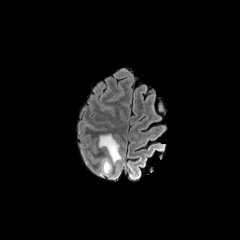
FLAIR magnetic resonance.
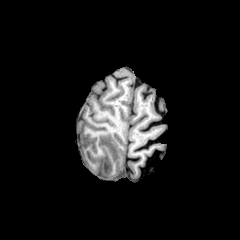
T1-weighted MR.
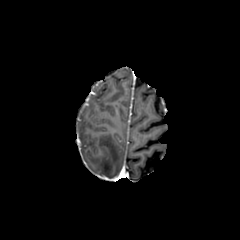
Post-contrast T1-weighted MRI.
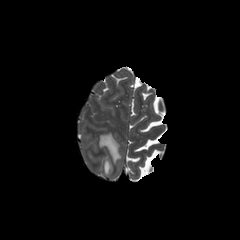
Same slice, T2-weighted MRI.
Axial slice; Image size 240x240; Head
Segmented structures:
• peritumoral edema: (98,134,121,176)